FLAIR MRI.
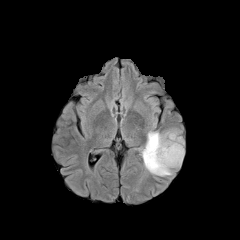
T1-weighted MR.
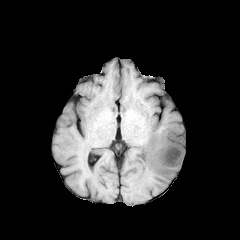
Post-contrast T1-weighted MRI.
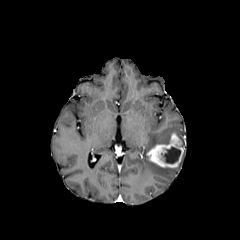
T2-weighted MR image.
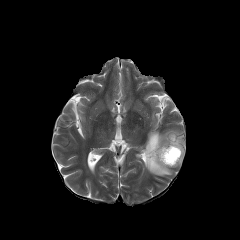
Image size 240x240. Head.
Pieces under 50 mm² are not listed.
The largest peritumoral edema region is located at <bbox>142, 130, 178, 176</bbox>. The necrotic tumor core lies within <bbox>163, 147, 180, 163</bbox>. The enhancing tumor is located at <bbox>146, 132, 184, 167</bbox>.